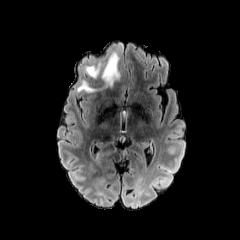
FLAIR magnetic resonance.
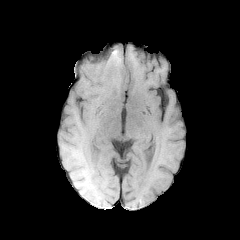
T1-weighted MRI.
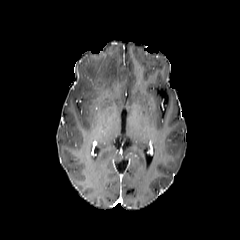
Post-contrast T1-weighted MR image of the same slice.
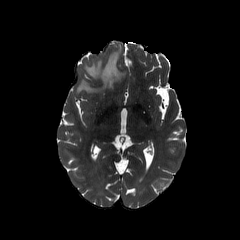
Same slice, T2-weighted MR.
Axial slice. Brain.
2 peritumoral edema regions are located at box=[85, 52, 122, 87]; box=[77, 80, 97, 92].